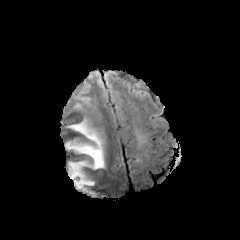
FLAIR MR.
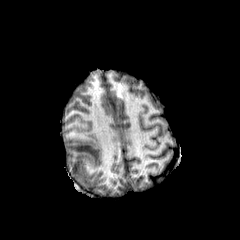
Same slice, T1-weighted MR image.
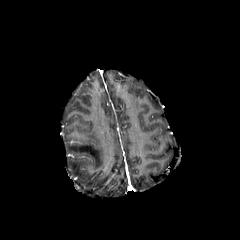
Post-contrast T1-weighted MR of the same slice.
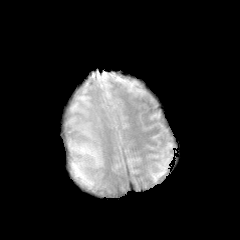
T2-weighted MRI.
Brain
The peritumoral edema lies within x1=65, y1=119, x2=104, y2=187.